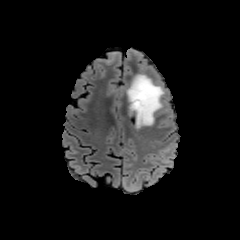
FLAIR MR image.
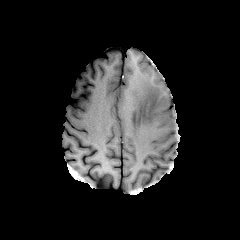
T1-weighted magnetic resonance.
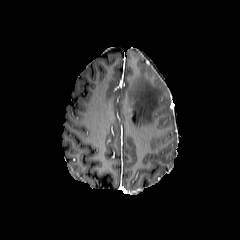
Post-contrast T1-weighted magnetic resonance of the same slice.
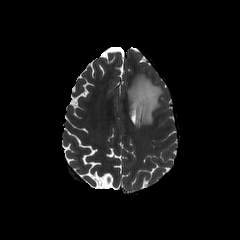
T2-weighted MR image of the same slice.
Head. 240x240.
peritumoral edema: (x1=126, y1=74, x2=164, y2=127)